Head; Image width 240 mm, 1.00 mm slice spacing; Slice 68 of 155; 240x240 px; Axial plane
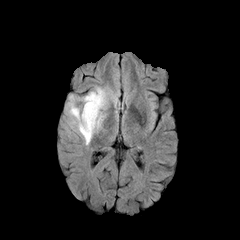
FLAIR MRI.
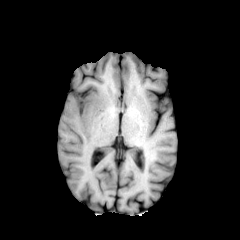
Same slice, T1-weighted magnetic resonance.
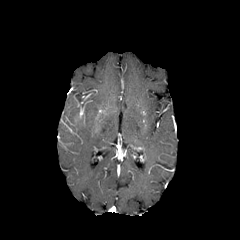
Post-contrast T1-weighted MRI of the same slice.
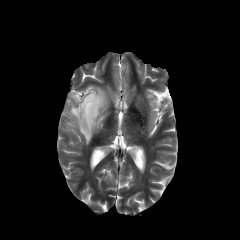
T2-weighted magnetic resonance.
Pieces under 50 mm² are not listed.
peritumoral edema at {"x1": 66, "y1": 86, "x2": 117, "y2": 145}